FLAIR MR.
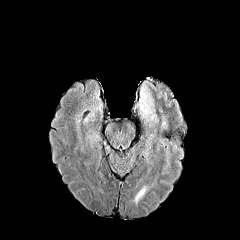
T1-weighted magnetic resonance.
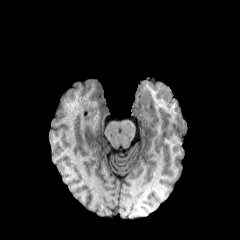
Post-contrast T1-weighted magnetic resonance.
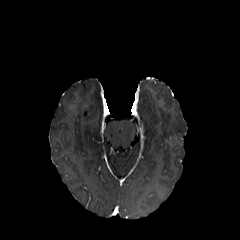
T2-weighted MRI.
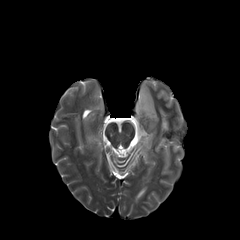
Brain, Axial slice
The peritumoral edema lies within bbox=[138, 83, 155, 119].